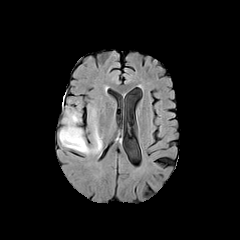
FLAIR magnetic resonance.
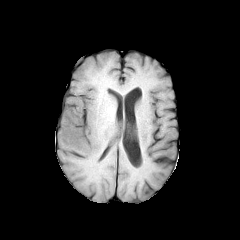
T1-weighted MR.
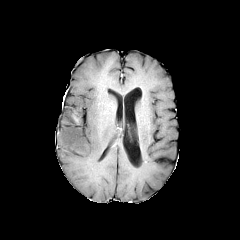
Post-contrast T1-weighted MRI of the same slice.
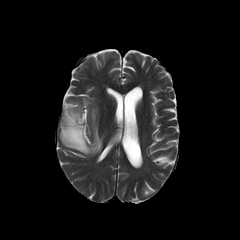
T2-weighted MR image of the same slice.
Axial slice
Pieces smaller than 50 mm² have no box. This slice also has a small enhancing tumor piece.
peritumoral_edema:
  - box=[59, 105, 102, 154]